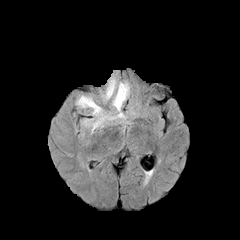
FLAIR MRI.
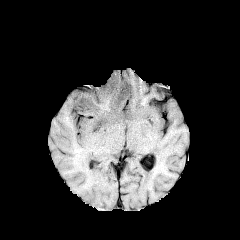
T1-weighted MRI.
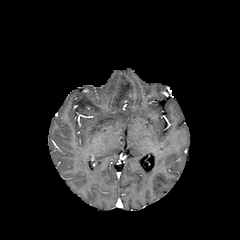
Same slice, post-contrast T1-weighted MR image.
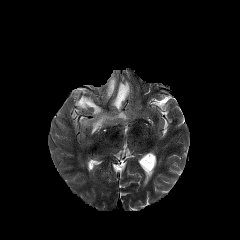
T2-weighted MR image.
Axial slice
<segmentation>
  <peritumoral_edema>box=[76, 75, 130, 132]</peritumoral_edema>
</segmentation>